Axial plane, Head, 240x240 px
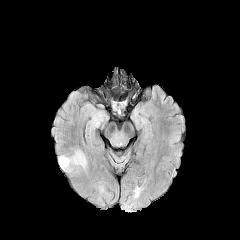
FLAIR MRI.
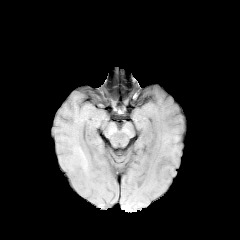
T1-weighted MRI of the same slice.
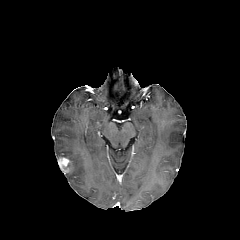
Post-contrast T1-weighted MR image.
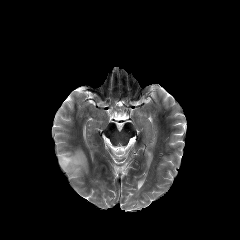
T2-weighted MR image.
enhancing tumor: rect(58, 157, 70, 172)
peritumoral edema: rect(58, 149, 87, 174)